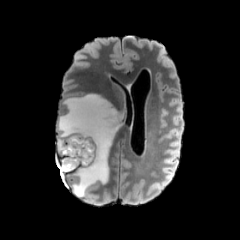
FLAIR MRI.
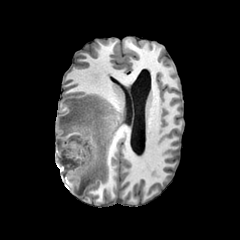
T1-weighted MR.
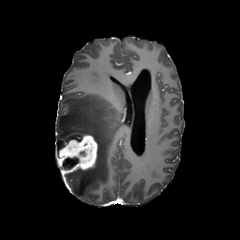
Post-contrast T1-weighted MR image of the same slice.
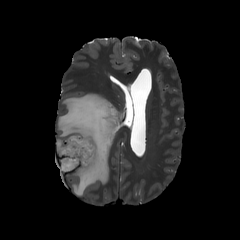
T2-weighted MRI.
240x240.
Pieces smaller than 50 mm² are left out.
necrotic tumor core: bounding box 62, 157, 78, 169
peritumoral edema: bounding box 56, 94, 122, 197
enhancing tumor: bounding box 58, 134, 98, 173